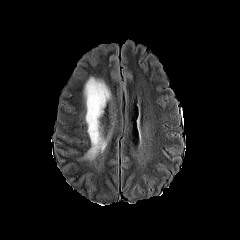
FLAIR MR image.
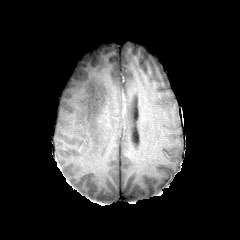
T1-weighted magnetic resonance.
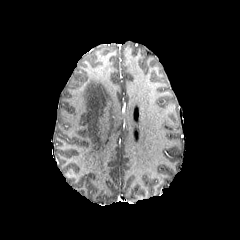
Same slice, post-contrast T1-weighted MR.
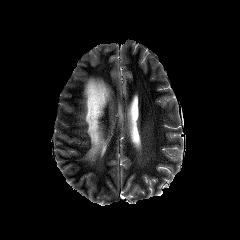
T2-weighted MRI of the same slice.
Head; Image size 240x240
The peritumoral edema is bounded by l=85, t=77, r=110, b=159.